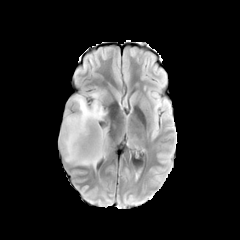
FLAIR MRI.
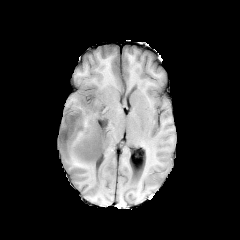
T1-weighted MR.
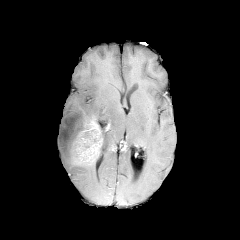
Post-contrast T1-weighted magnetic resonance of the same slice.
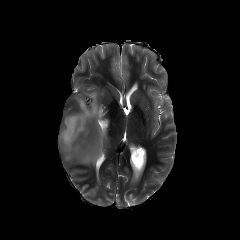
T2-weighted magnetic resonance of the same slice.
Head, Axial plane
peritumoral_edema:
  - (59, 91, 105, 165)
  - (91, 130, 107, 167)
enhancing_tumor:
  - (73, 118, 108, 165)